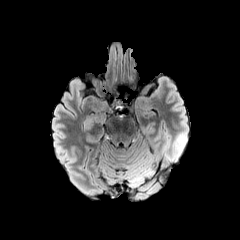
FLAIR MRI.
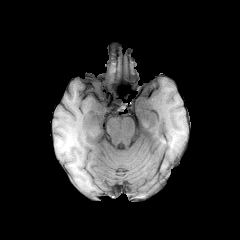
T1-weighted MR.
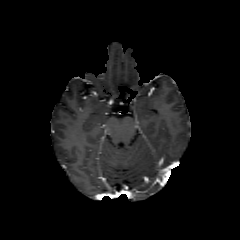
Post-contrast T1-weighted MR image of the same slice.
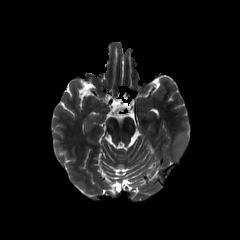
T2-weighted MRI.
Axial plane
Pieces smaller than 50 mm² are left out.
{
  "peritumoral_edema": [
    "x1=166, y1=131, x2=187, y2=160"
  ]
}